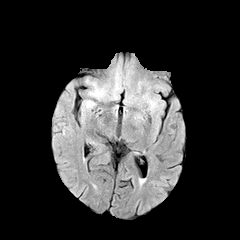
FLAIR MRI.
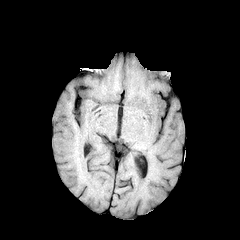
T1-weighted MR.
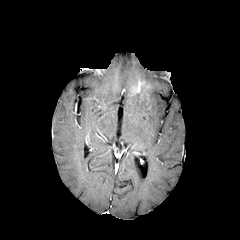
Post-contrast T1-weighted magnetic resonance.
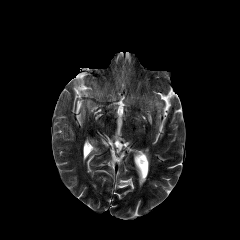
T2-weighted MRI.
Head, Axial view, 240x240
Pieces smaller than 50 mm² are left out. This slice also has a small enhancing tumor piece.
Segmented structures:
* peritumoral edema: <bbox>89, 83, 106, 98</bbox>, <bbox>143, 95, 158, 110</bbox>